240x240 px | Slice 102/155
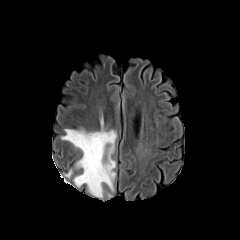
FLAIR MRI.
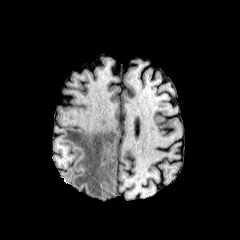
T1-weighted MRI.
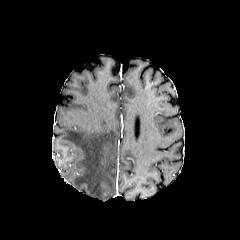
Post-contrast T1-weighted MR image.
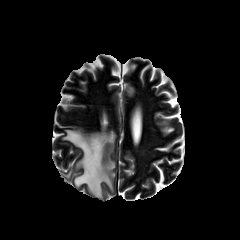
T2-weighted MRI.
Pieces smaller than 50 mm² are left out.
peritumoral edema: left=61, top=129, right=116, bottom=198